Image covers 240 mm x 240 mm; Brain; Slice 32 of 155
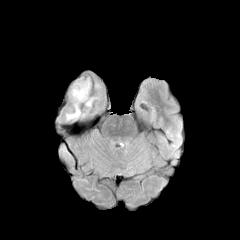
FLAIR MR image.
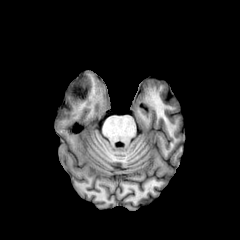
T1-weighted magnetic resonance of the same slice.
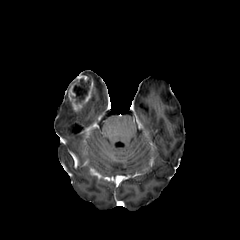
Same slice, post-contrast T1-weighted MRI.
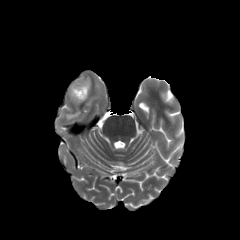
T2-weighted MR image.
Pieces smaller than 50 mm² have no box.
{"necrotic_tumor_core": ["73:80:90:104"], "peritumoral_edema": ["66:110:80:120"], "enhancing_tumor": ["69:75:93:110"]}